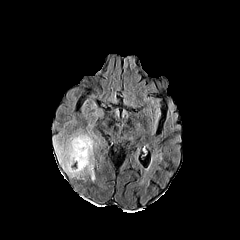
FLAIR MR.
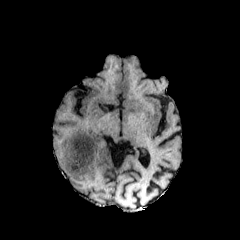
T1-weighted MR image.
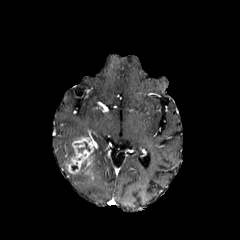
Post-contrast T1-weighted MR image.
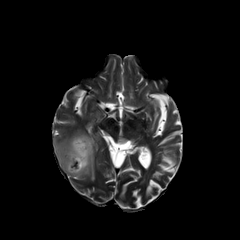
T2-weighted MRI of the same slice.
peritumoral edema = rect(54, 132, 96, 180)
necrotic tumor core = rect(75, 141, 91, 156); rect(71, 158, 80, 171)
enhancing tumor = rect(67, 137, 93, 173)